FLAIR magnetic resonance.
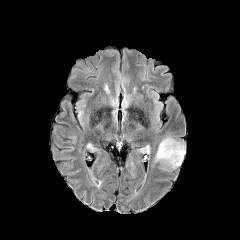
T1-weighted MR.
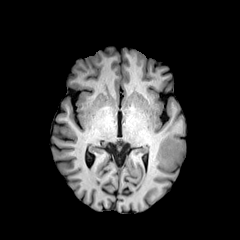
Post-contrast T1-weighted MR image.
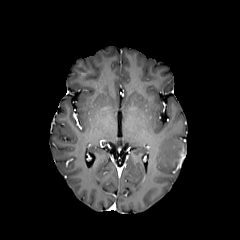
T2-weighted MR image.
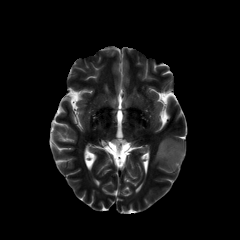
Image size 240x240; Axial view
The enhancing tumor is located at bbox=[178, 148, 185, 167]. The peritumoral edema is at bbox=[155, 137, 185, 168].